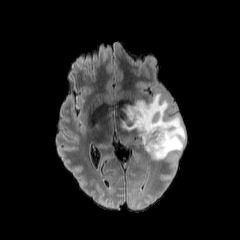
FLAIR MR.
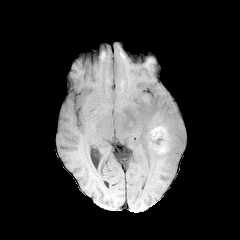
Same slice, T1-weighted MRI.
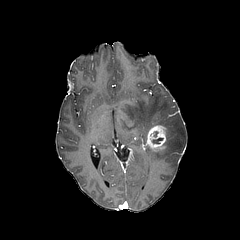
Post-contrast T1-weighted MR.
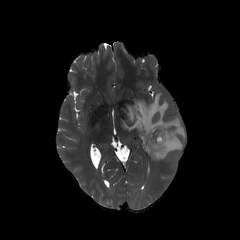
T2-weighted MRI.
Axial plane. Brain.
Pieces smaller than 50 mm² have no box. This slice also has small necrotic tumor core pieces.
* peritumoral edema: [123, 92, 185, 160]
* enhancing tumor: [146, 125, 166, 150]